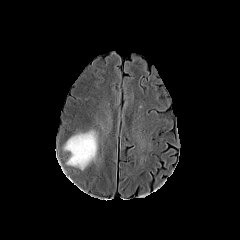
FLAIR MR.
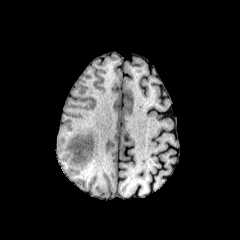
T1-weighted MR.
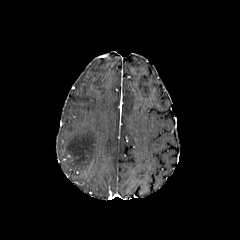
Post-contrast T1-weighted MR.
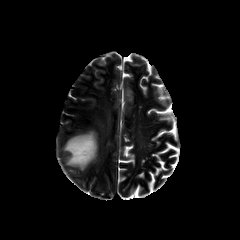
Same slice, T2-weighted MR.
Head
<segmentation>
  <peritumoral_edema>[64,130,97,169]</peritumoral_edema>
</segmentation>